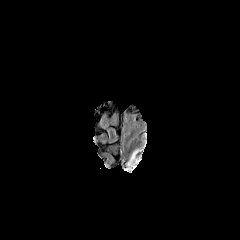
FLAIR MR image.
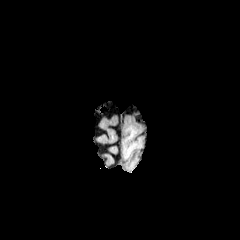
T1-weighted magnetic resonance.
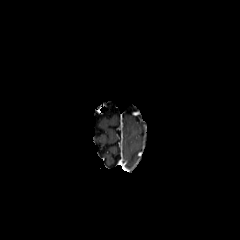
Same slice, post-contrast T1-weighted MRI.
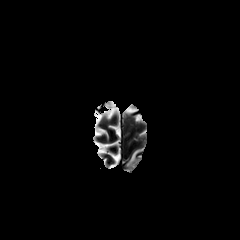
T2-weighted MR.
Axial view | Brain
The peritumoral edema is bounded by left=126, top=148, right=140, bottom=166.